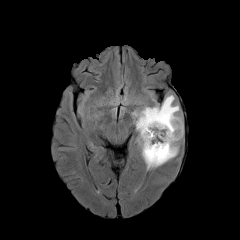
FLAIR MR image.
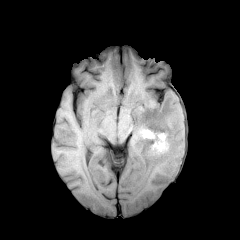
T1-weighted MR image.
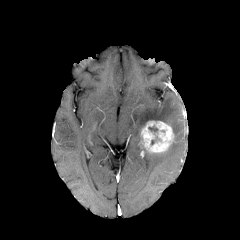
Post-contrast T1-weighted MR image.
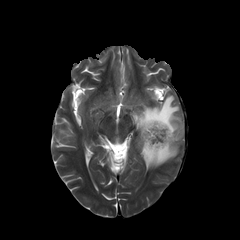
Same slice, T2-weighted MR image.
Axial plane. Head.
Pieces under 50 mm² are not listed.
enhancing_tumor:
  - [141,120,174,152]
peritumoral_edema:
  - [130,95,183,170]
necrotic_tumor_core:
  - [148,126,162,145]